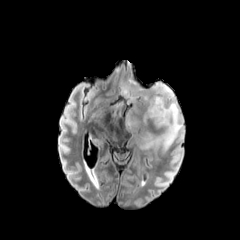
FLAIR MRI.
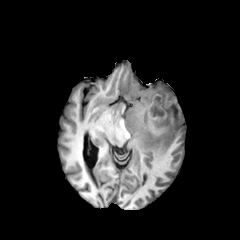
T1-weighted MRI.
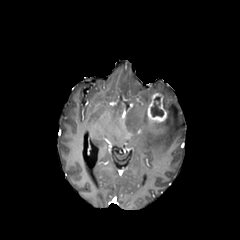
Same slice, post-contrast T1-weighted MRI.
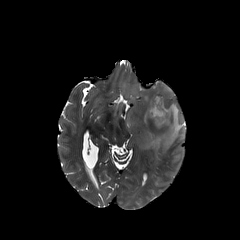
T2-weighted MRI of the same slice.
Brain
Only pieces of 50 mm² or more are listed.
Findings:
* peritumoral edema: 120, 81, 184, 152
* enhancing tumor: 147, 92, 167, 123
* necrotic tumor core: 151, 96, 163, 116